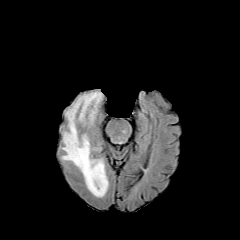
FLAIR MR.
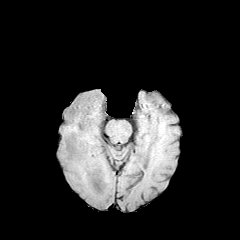
T1-weighted MRI of the same slice.
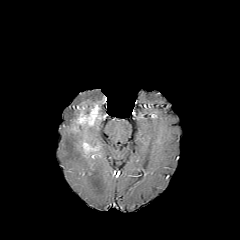
Post-contrast T1-weighted MRI.
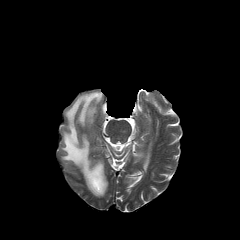
T2-weighted MRI.
Axial slice | 240x240
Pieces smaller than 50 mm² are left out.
The largest peritumoral edema region is located at x1=60 y1=91 x2=108 y2=197. The 2 largest enhancing tumor regions are located at x1=75 y1=102 x2=100 y2=128, x1=81 y1=140 x2=99 y2=155. The necrotic tumor core lies within x1=85 y1=102 x2=93 y2=113.